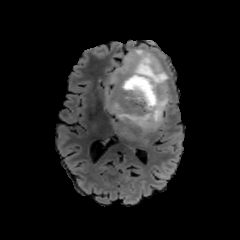
FLAIR MR.
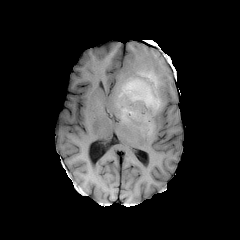
T1-weighted MRI.
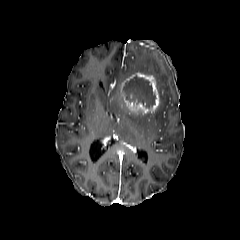
Same slice, post-contrast T1-weighted magnetic resonance.
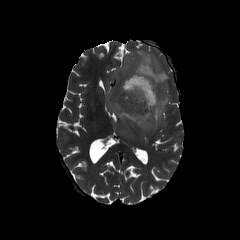
Same slice, T2-weighted MR.
Head; Axial plane
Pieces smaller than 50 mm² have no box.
<segmentation>
  <enhancing_tumor>(x1=121, y1=72, x2=159, y2=113)</enhancing_tumor>
  <peritumoral_edema>(x1=104, y1=49, x2=170, y2=139)</peritumoral_edema>
  <necrotic_tumor_core>(x1=125, y1=77, x2=155, y2=108)</necrotic_tumor_core>
</segmentation>